FLAIR magnetic resonance.
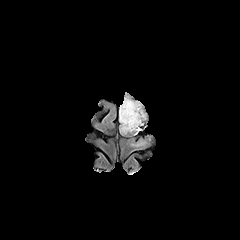
T1-weighted MR.
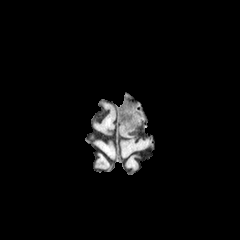
Post-contrast T1-weighted magnetic resonance.
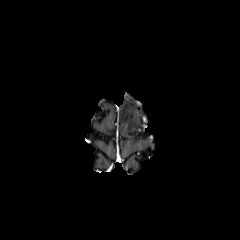
T2-weighted magnetic resonance.
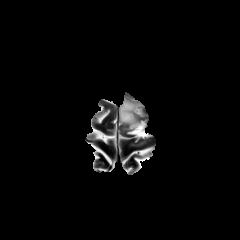
Axial slice. Brain. Image size 240x240.
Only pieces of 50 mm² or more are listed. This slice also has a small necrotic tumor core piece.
The largest peritumoral edema region lies within (119, 97, 143, 132).